Axial view | Slice 111/155
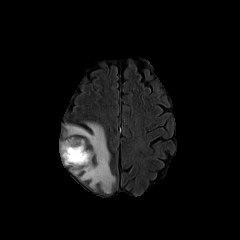
FLAIR MRI.
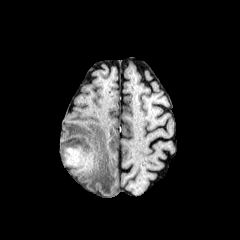
Same slice, T1-weighted MRI.
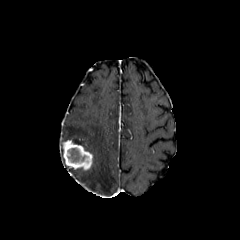
Same slice, post-contrast T1-weighted MR.
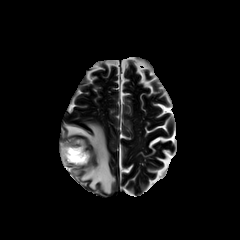
T2-weighted MR image.
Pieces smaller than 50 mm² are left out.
enhancing tumor: [60,139,93,170] | peritumoral edema: [64,122,115,193] | necrotic tumor core: [69,149,79,161]